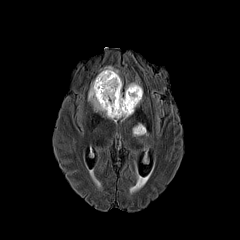
FLAIR MR.
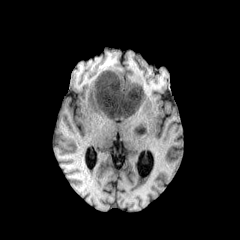
T1-weighted MR image.
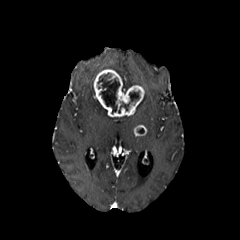
Post-contrast T1-weighted MR image.
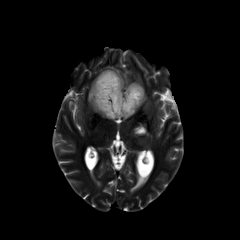
T2-weighted MR image.
240x240, Head
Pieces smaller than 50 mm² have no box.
<segmentation>
  <peritumoral_edema>x1=99, y1=65, x2=120, y2=75; x1=122, y1=80, x2=140, y2=92; x1=88, y1=81, x2=119, y2=122</peritumoral_edema>
  <necrotic_tumor_core>x1=98, y1=73, x2=119, y2=113; x1=118, y1=91, x2=139, y2=113</necrotic_tumor_core>
  <enhancing_tumor>x1=133, y1=124, x2=146, y2=136; x1=93, y1=69, x2=144, y2=117</enhancing_tumor>
</segmentation>